Slice index 75; Image width 240 mm, 1.00 mm slice spacing; Axial plane
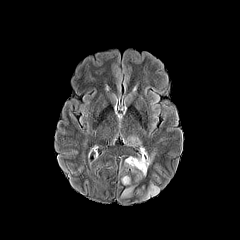
FLAIR MR image.
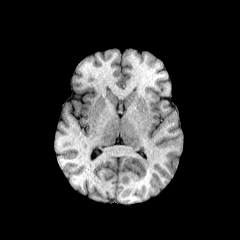
T1-weighted MR image of the same slice.
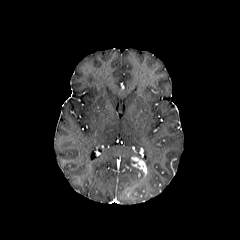
Post-contrast T1-weighted MR of the same slice.
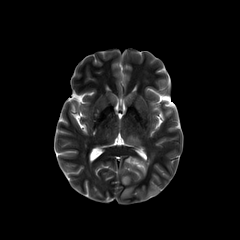
T2-weighted magnetic resonance of the same slice.
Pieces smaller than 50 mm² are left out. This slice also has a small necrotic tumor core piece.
enhancing_tumor:
  - bbox(131, 157, 147, 176)
peritumoral_edema:
  - bbox(121, 187, 133, 197)
  - bbox(122, 176, 130, 184)
  - bbox(140, 154, 153, 168)
  - bbox(125, 135, 141, 145)
  - bbox(142, 184, 158, 199)